FLAIR MR image.
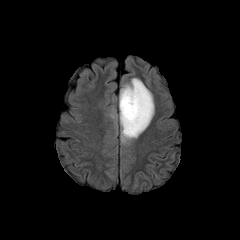
T1-weighted magnetic resonance.
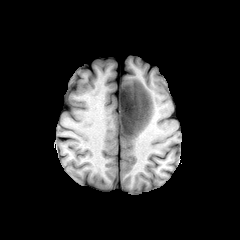
Post-contrast T1-weighted magnetic resonance.
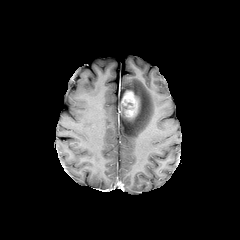
T2-weighted MRI.
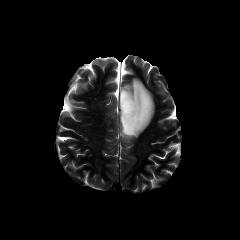
Head
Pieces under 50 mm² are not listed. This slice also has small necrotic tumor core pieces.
enhancing tumor = 121, 90, 139, 120
peritumoral edema = 119, 78, 154, 144